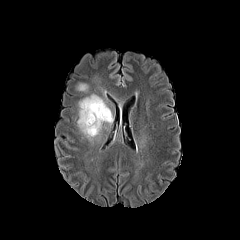
FLAIR MRI.
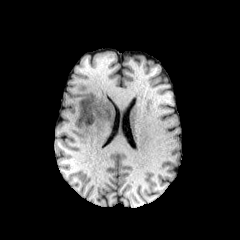
Same slice, T1-weighted MR.
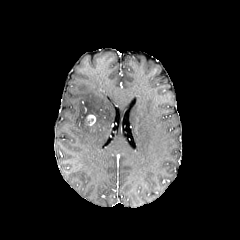
Post-contrast T1-weighted MRI of the same slice.
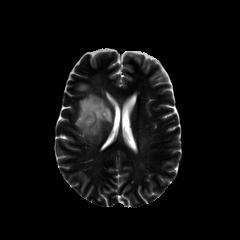
T2-weighted MRI.
Head | Axial slice
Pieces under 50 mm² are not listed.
The enhancing tumor is located at [86,114,95,125]. The 2 largest peritumoral edema regions appear at [77,94,113,140], [77,83,88,91].